240x240 px. Slice index 63.
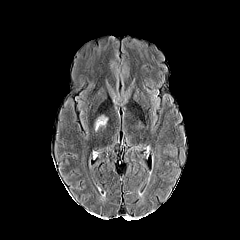
FLAIR magnetic resonance.
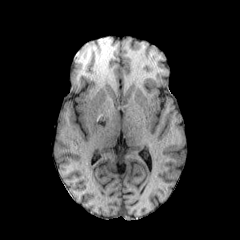
Same slice, T1-weighted magnetic resonance.
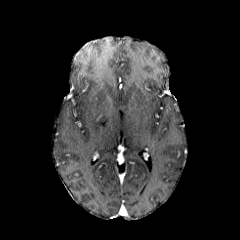
Post-contrast T1-weighted MR image.
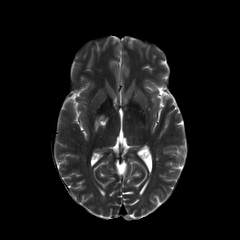
T2-weighted magnetic resonance.
Annotated regions:
- peritumoral edema: box(95, 116, 107, 130)